Axial slice | 240x240 px | Slice 40/155
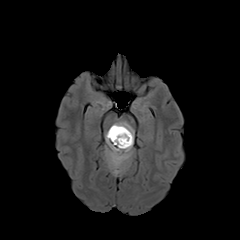
FLAIR MR.
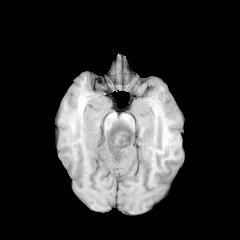
T1-weighted magnetic resonance.
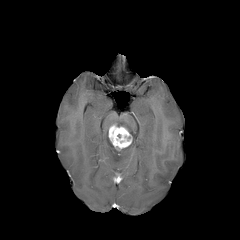
Same slice, post-contrast T1-weighted MR image.
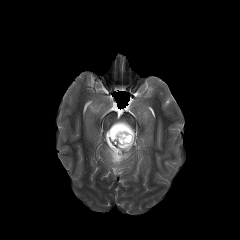
T2-weighted MRI of the same slice.
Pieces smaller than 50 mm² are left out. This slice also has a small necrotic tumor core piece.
enhancing tumor: bbox=[108, 124, 132, 150] | peritumoral edema: bbox=[105, 119, 134, 175]